Head | Axial view | Slice 42 of 155
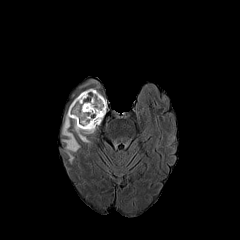
FLAIR MR.
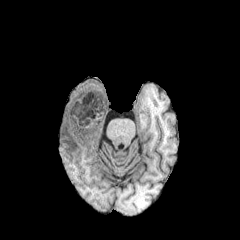
T1-weighted MR image of the same slice.
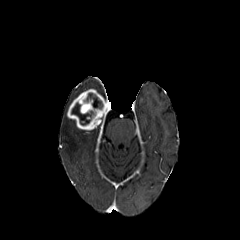
Same slice, post-contrast T1-weighted MR image.
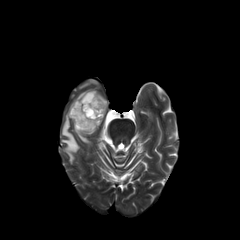
T2-weighted MR.
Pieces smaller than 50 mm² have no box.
The 2 largest peritumoral edema regions are located at 73 120 95 143, 62 114 79 163. 2 necrotic tumor core regions appear at 83 93 102 108, 71 103 93 125. The largest enhancing tumor region lies within 67 89 107 130.